FLAIR MR image.
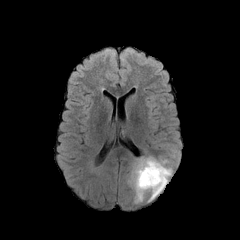
T1-weighted magnetic resonance.
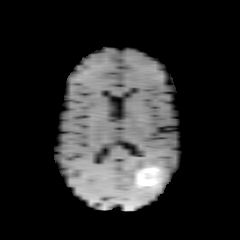
Post-contrast T1-weighted MR.
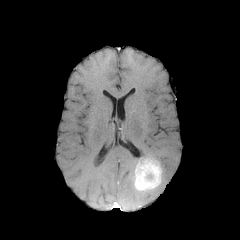
T2-weighted MRI.
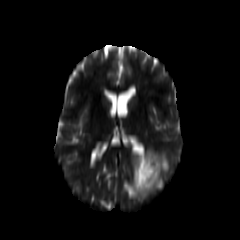
Axial plane, 240x240 px, Brain
{"peritumoral_edema": ["box(127, 154, 172, 202)"], "enhancing_tumor": ["box(134, 158, 161, 191)"]}